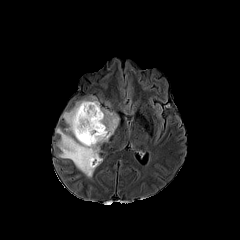
FLAIR magnetic resonance.
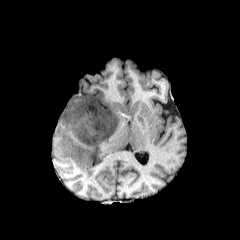
T1-weighted magnetic resonance of the same slice.
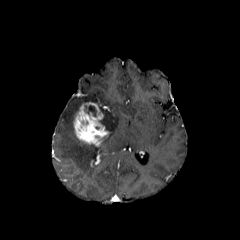
Post-contrast T1-weighted MR image.
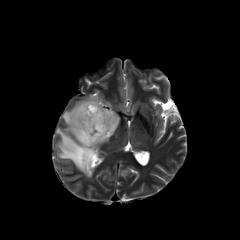
Same slice, T2-weighted magnetic resonance.
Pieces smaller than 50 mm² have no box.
peritumoral_edema:
  - box(56, 96, 119, 177)
enhancing_tumor:
  - box(73, 102, 108, 145)
necrotic_tumor_core:
  - box(85, 105, 96, 116)